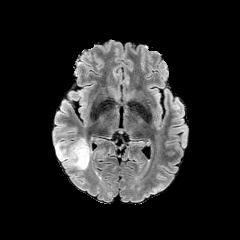
FLAIR MR.
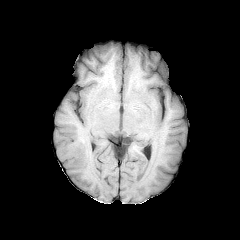
T1-weighted magnetic resonance.
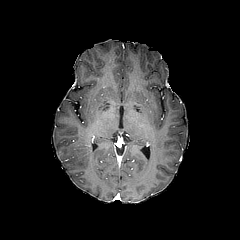
Post-contrast T1-weighted magnetic resonance.
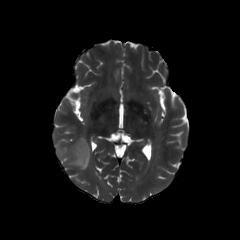
Same slice, T2-weighted MR.
Axial view
The peritumoral edema is bounded by box(55, 138, 91, 169).